FLAIR magnetic resonance.
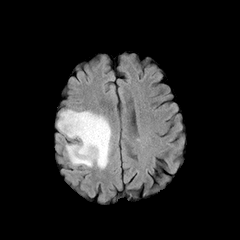
T1-weighted MR.
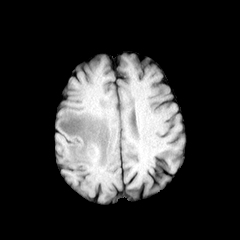
Post-contrast T1-weighted MRI.
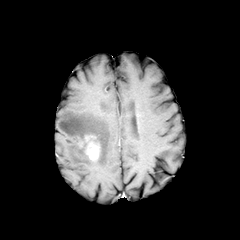
T2-weighted MR image.
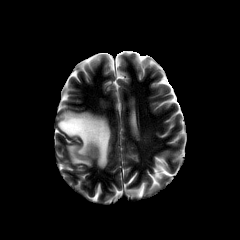
Brain.
enhancing tumor: [84, 135, 99, 159]
peritumoral edema: [57, 110, 111, 168]